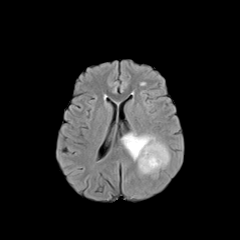
FLAIR magnetic resonance.
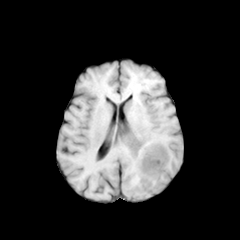
T1-weighted magnetic resonance of the same slice.
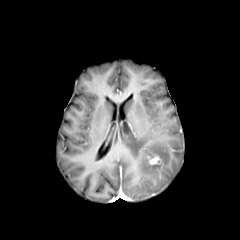
Post-contrast T1-weighted MR.
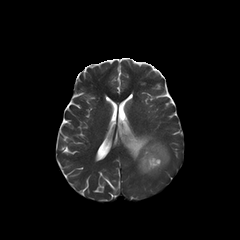
T2-weighted MR image of the same slice.
240x240 px
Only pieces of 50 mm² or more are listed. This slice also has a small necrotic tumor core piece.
<segmentation>
  <enhancing_tumor>x1=147 y1=156 x2=160 y2=164</enhancing_tumor>
  <peritumoral_edema>x1=121 y1=132 x2=170 y2=174</peritumoral_edema>
</segmentation>